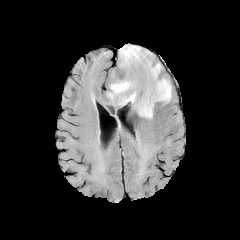
FLAIR magnetic resonance.
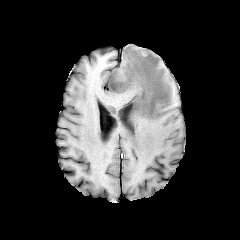
Same slice, T1-weighted MR.
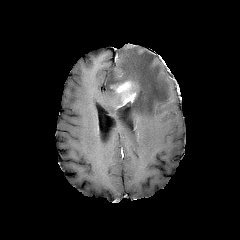
Same slice, post-contrast T1-weighted MRI.
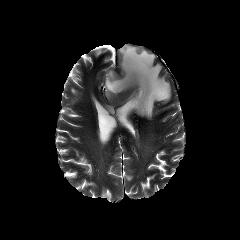
T2-weighted magnetic resonance.
Head, Axial plane
enhancing_tumor:
  - <box>111,80,136,106</box>
peritumoral_edema:
  - <box>106,45,171,119</box>